FLAIR magnetic resonance.
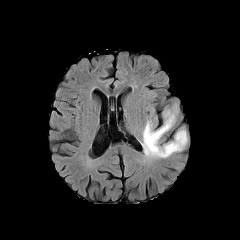
T1-weighted magnetic resonance.
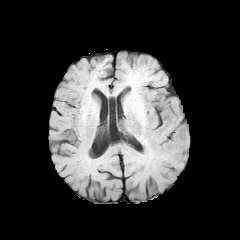
Post-contrast T1-weighted MRI.
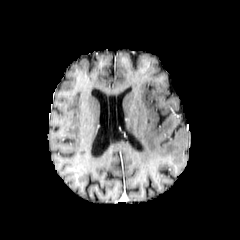
T2-weighted MRI.
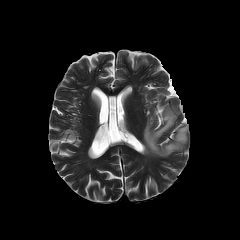
240x240
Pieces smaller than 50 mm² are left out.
peritumoral_edema:
  - (left=142, top=109, right=187, bottom=157)